FLAIR MRI.
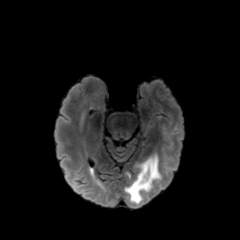
T1-weighted MR.
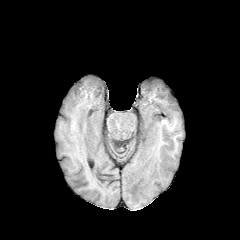
Post-contrast T1-weighted MR.
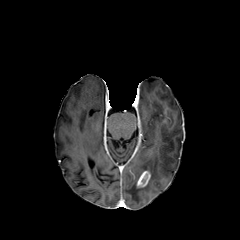
T2-weighted MR.
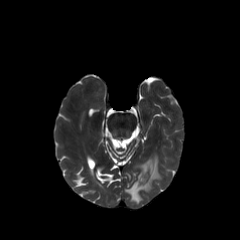
Brain
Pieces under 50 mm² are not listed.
peritumoral edema: bounding box (125, 155, 160, 203)
enhancing tumor: bounding box (136, 171, 150, 187)